Brain, Axial view
FLAIR MR image.
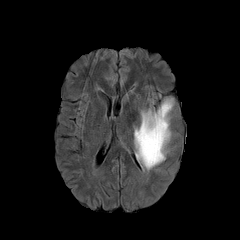
T1-weighted magnetic resonance.
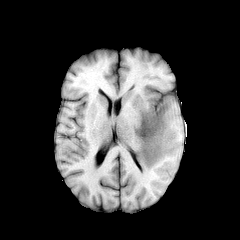
Post-contrast T1-weighted magnetic resonance.
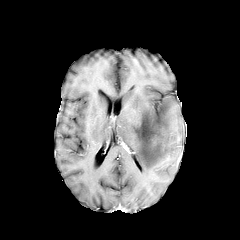
T2-weighted magnetic resonance.
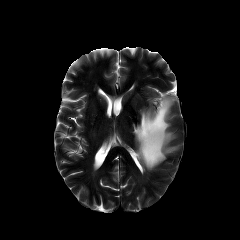
- peritumoral edema: [134, 97, 174, 170]